Brain | Axial plane
FLAIR magnetic resonance.
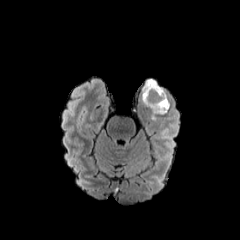
T1-weighted MR.
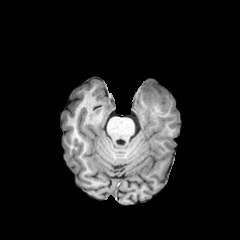
Post-contrast T1-weighted MR.
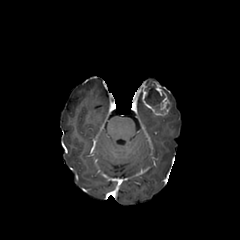
T2-weighted magnetic resonance.
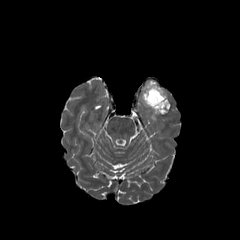
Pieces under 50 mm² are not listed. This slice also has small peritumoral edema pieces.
necrotic tumor core: {"x1": 145, "y1": 83, "x2": 164, "y2": 111} | enhancing tumor: {"x1": 142, "y1": 81, "x2": 169, "y2": 115}